FLAIR MRI.
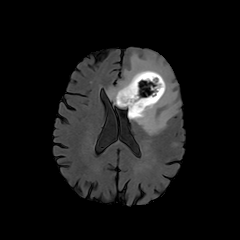
T1-weighted magnetic resonance.
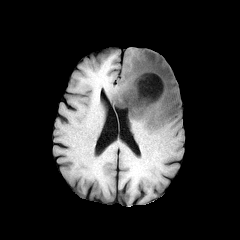
Post-contrast T1-weighted magnetic resonance.
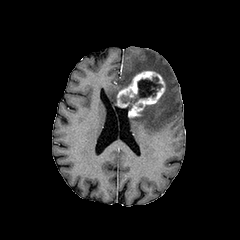
T2-weighted MRI.
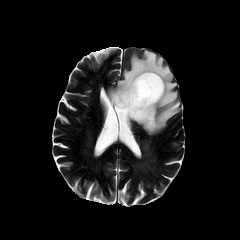
Brain
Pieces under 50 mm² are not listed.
peritumoral edema: bounding box box(107, 50, 180, 135)
necrotic tumor core: bounding box box(122, 77, 162, 106)
enhancing tumor: bounding box box(116, 71, 165, 117)